FLAIR MR image.
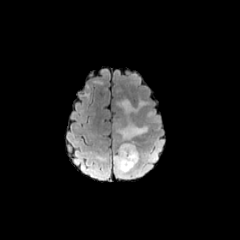
T1-weighted magnetic resonance.
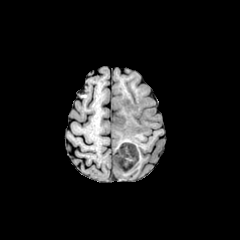
Post-contrast T1-weighted MR.
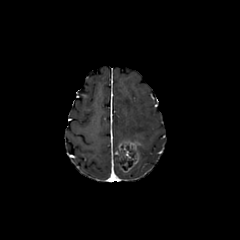
T2-weighted MRI.
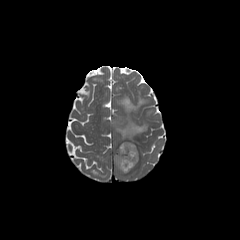
Axial view, Head
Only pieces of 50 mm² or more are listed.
Segmented structures:
• peritumoral edema: x1=117, y1=121, x2=147, y2=141; x1=113, y1=154, x2=141, y2=178; x1=118, y1=99, x2=147, y2=113
• enhancing tumor: x1=115, y1=141, x2=140, y2=172
• necrotic tumor core: x1=126, y1=145, x2=135, y2=157; x1=118, y1=156, x2=135, y2=170